Slice 98/155 | Axial view
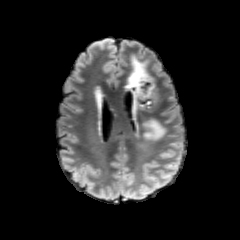
FLAIR MR image.
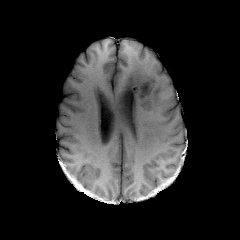
T1-weighted MRI.
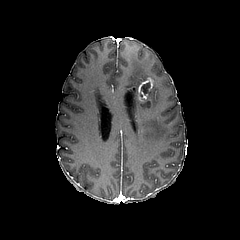
Post-contrast T1-weighted magnetic resonance of the same slice.
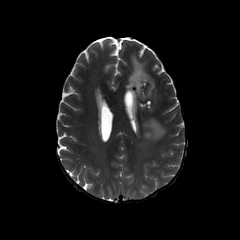
T2-weighted MRI.
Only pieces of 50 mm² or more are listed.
The largest necrotic tumor core region is bounded by box=[141, 82, 150, 94]. The enhancing tumor is located at box=[137, 77, 153, 101]. The 2 largest peritumoral edema regions are located at box=[126, 55, 151, 109]; box=[143, 120, 165, 140].